FLAIR MR.
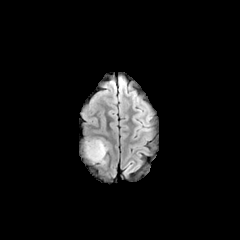
T1-weighted MR.
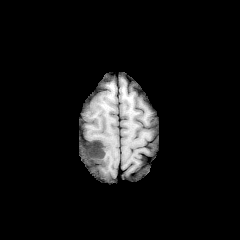
Post-contrast T1-weighted MR image.
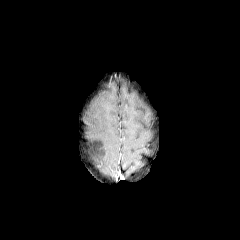
T2-weighted MRI.
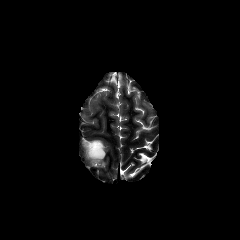
Axial slice | Brain
peritumoral edema — x1=83, y1=140, x2=107, y2=164